Slice 75/155. 240x240 px. Axial view.
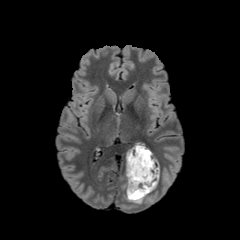
FLAIR magnetic resonance.
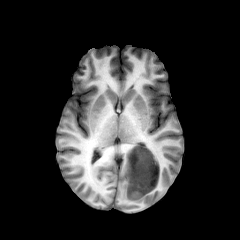
T1-weighted MR.
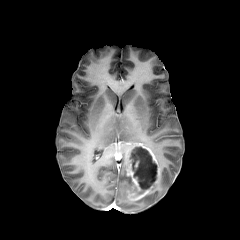
Same slice, post-contrast T1-weighted MR.
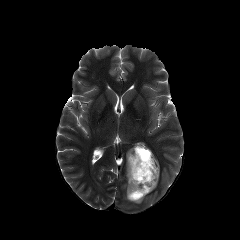
T2-weighted MRI.
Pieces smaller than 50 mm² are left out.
{"peritumoral_edema": ["bbox=[126, 176, 144, 203]"], "necrotic_tumor_core": ["bbox=[129, 147, 157, 194]"], "enhancing_tumor": ["bbox=[126, 143, 159, 200]"]}